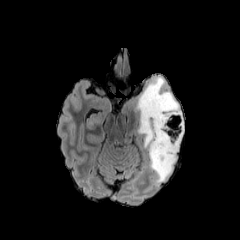
FLAIR MRI.
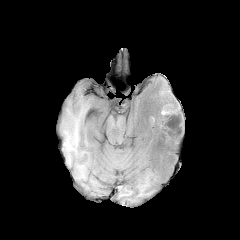
T1-weighted magnetic resonance of the same slice.
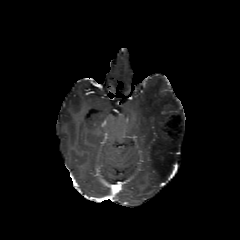
Post-contrast T1-weighted magnetic resonance.
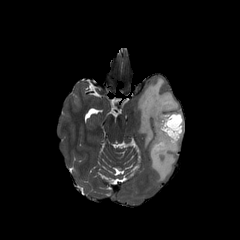
T2-weighted magnetic resonance.
Brain. Axial plane.
peritumoral edema: <box>135,77,182,184</box>